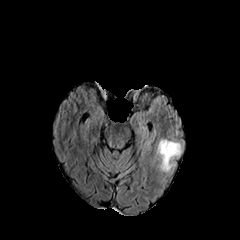
FLAIR MR.
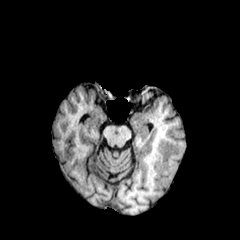
T1-weighted magnetic resonance.
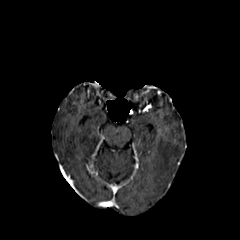
Post-contrast T1-weighted MR of the same slice.
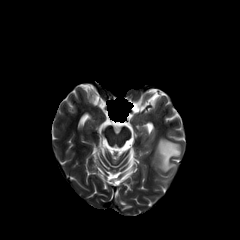
T2-weighted magnetic resonance.
Brain. 240x240 px.
peritumoral edema: <box>157,139,182,171</box>